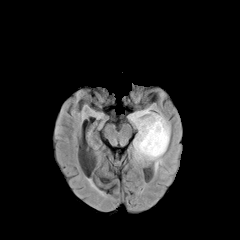
FLAIR MRI.
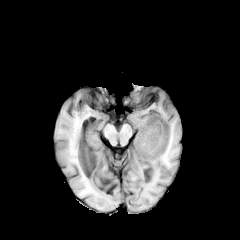
T1-weighted MR of the same slice.
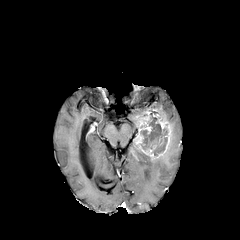
Post-contrast T1-weighted MR image.
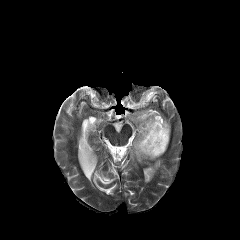
Same slice, T2-weighted magnetic resonance.
Image size 240x240 | Brain | Axial view
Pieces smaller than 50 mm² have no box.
Findings:
* necrotic tumor core: (left=140, top=115, right=167, bottom=156)
* peritumoral edema: (left=130, top=140, right=161, bottom=161), (left=128, top=107, right=159, bottom=126)
* enhancing tumor: (left=134, top=111, right=170, bottom=159)